FLAIR magnetic resonance.
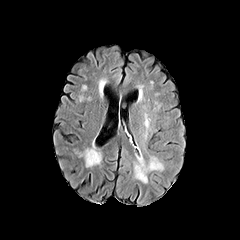
T1-weighted MR.
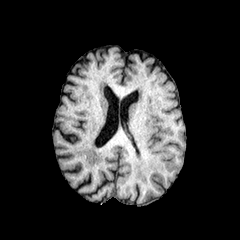
Post-contrast T1-weighted MR.
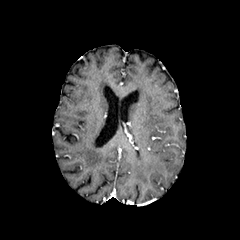
T2-weighted MR image.
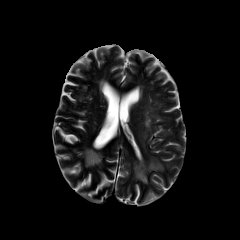
Brain.
Segmented structures:
• peritumoral edema: rect(138, 156, 146, 169)